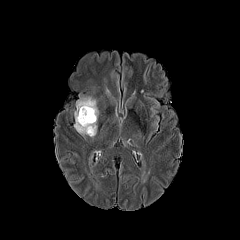
FLAIR magnetic resonance.
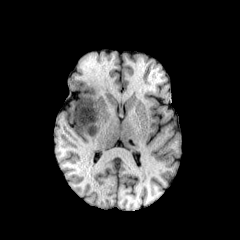
T1-weighted MR image.
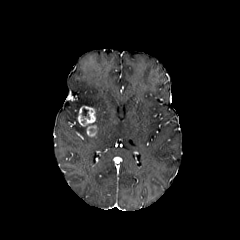
Post-contrast T1-weighted MR image of the same slice.
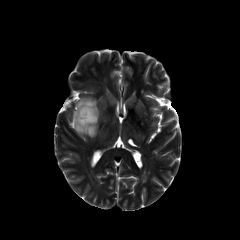
T2-weighted MR.
Axial plane.
peritumoral edema: rect(74, 97, 98, 135)
enhancing tumor: rect(77, 106, 96, 136)
necrotic tumor core: rect(82, 108, 89, 118)